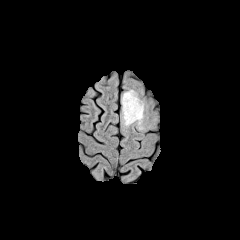
FLAIR magnetic resonance.
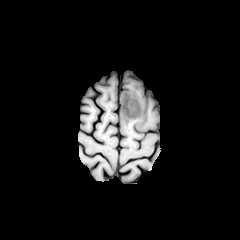
T1-weighted magnetic resonance of the same slice.
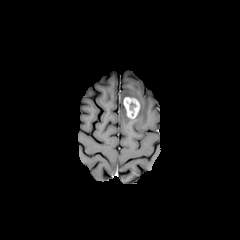
Same slice, post-contrast T1-weighted MR image.
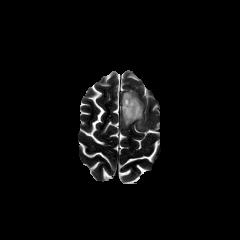
T2-weighted MR.
Axial plane, 240x240, Head
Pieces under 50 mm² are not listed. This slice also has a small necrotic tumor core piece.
peritumoral edema — [x1=121, y1=89, x2=144, y2=129]
enhancing tumor — [x1=123, y1=96, x2=140, y2=119]